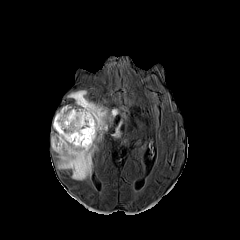
FLAIR magnetic resonance.
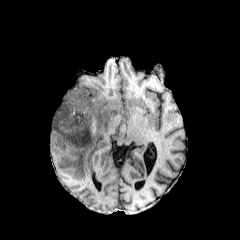
T1-weighted magnetic resonance.
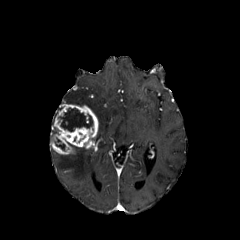
Post-contrast T1-weighted MR.
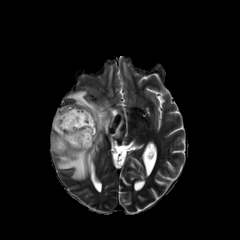
T2-weighted MRI of the same slice.
240x240
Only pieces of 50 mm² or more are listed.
necrotic tumor core at <bbox>54, 138, 65, 150</bbox>, <bbox>58, 108, 92, 131</bbox>
peritumoral edema at <bbox>57, 148, 93, 180</bbox>, <bbox>112, 120, 122, 137</bbox>, <bbox>67, 90, 118, 131</bbox>
enhancing tumor at <bbox>50, 104, 98, 154</bbox>